240x240
FLAIR MR image.
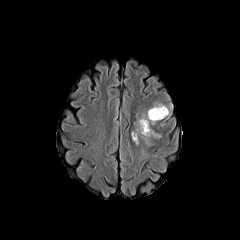
T1-weighted magnetic resonance.
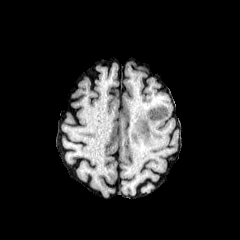
Post-contrast T1-weighted MRI.
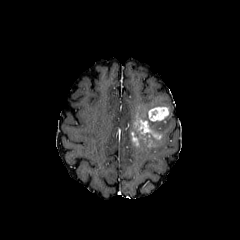
T2-weighted MR image.
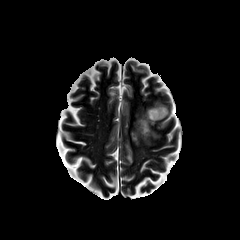
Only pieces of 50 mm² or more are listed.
<segmentation>
  <enhancing_tumor>rect(134, 118, 160, 138); rect(131, 132, 138, 145); rect(148, 106, 168, 121)</enhancing_tumor>
  <peritumoral_edema>rect(140, 111, 155, 125); rect(132, 129, 150, 145); rect(138, 147, 149, 162); rect(149, 101, 172, 126)</peritumoral_edema>
</segmentation>